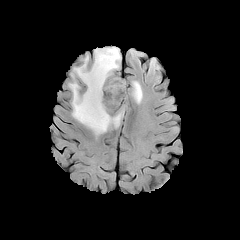
FLAIR MRI.
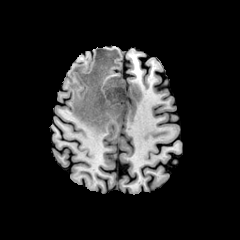
T1-weighted magnetic resonance.
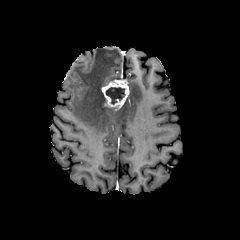
Same slice, post-contrast T1-weighted MR.
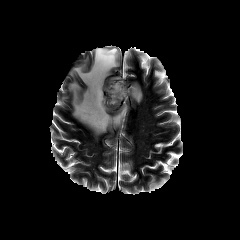
T2-weighted magnetic resonance.
Brain.
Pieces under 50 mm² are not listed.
{
  "necrotic_tumor_core": [
    "106 87 124 104"
  ],
  "peritumoral_edema": [
    "68 47 126 135",
    "129 81 142 103"
  ],
  "enhancing_tumor": [
    "101 79 129 109"
  ]
}